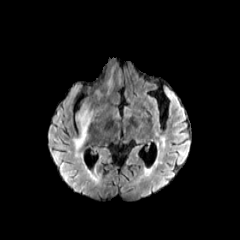
FLAIR magnetic resonance.
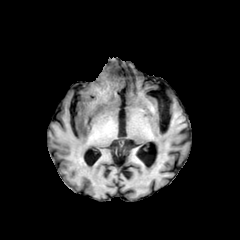
Same slice, T1-weighted MR.
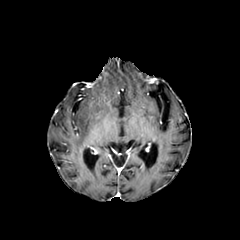
Post-contrast T1-weighted magnetic resonance of the same slice.
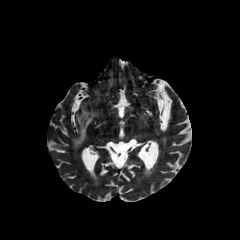
T2-weighted MRI.
Brain; Axial view
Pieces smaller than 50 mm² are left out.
peritumoral edema: (73,105,93,149)